FLAIR MRI.
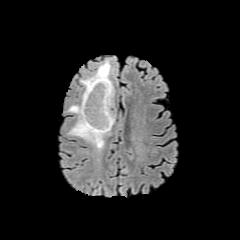
T1-weighted MR image.
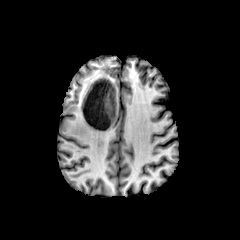
Post-contrast T1-weighted MR image.
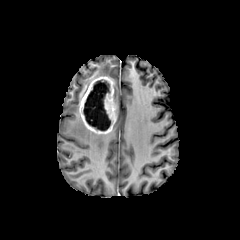
T2-weighted magnetic resonance.
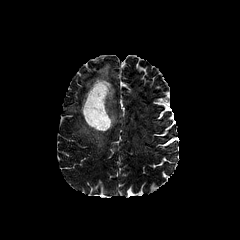
Axial slice. Image size 240x240.
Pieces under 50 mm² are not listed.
<segmentation>
  <peritumoral_edema>(67, 105, 110, 149), (80, 62, 110, 96)</peritumoral_edema>
  <necrotic_tumor_core>(83, 80, 110, 130)</necrotic_tumor_core>
  <enhancing_tumor>(79, 76, 116, 133)</enhancing_tumor>
</segmentation>